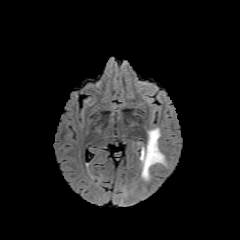
FLAIR MR.
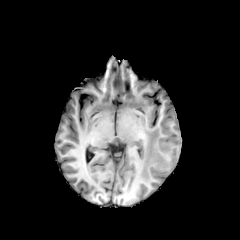
Same slice, T1-weighted MR.
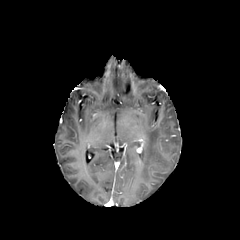
Same slice, post-contrast T1-weighted MRI.
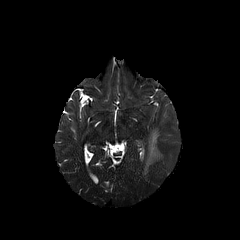
T2-weighted MRI of the same slice.
Axial slice | Head
peritumoral edema: (140,128,165,180)